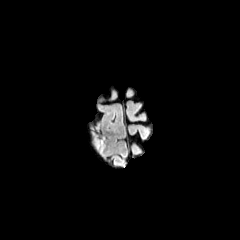
FLAIR MR.
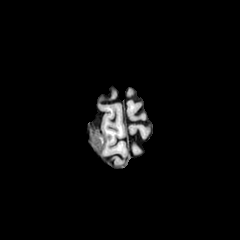
T1-weighted MR of the same slice.
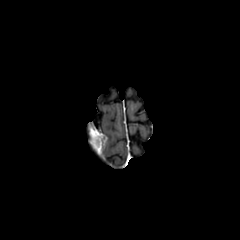
Post-contrast T1-weighted MR image of the same slice.
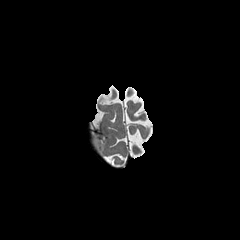
T2-weighted magnetic resonance.
Axial slice | 240x240 px
enhancing tumor = x1=93 y1=133 x2=106 y2=153